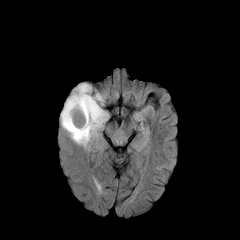
FLAIR MR.
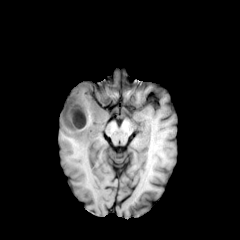
T1-weighted MRI of the same slice.
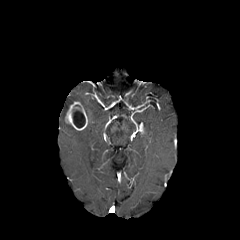
Post-contrast T1-weighted MR.
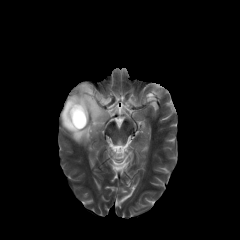
T2-weighted magnetic resonance of the same slice.
Head. Axial slice. 240x240.
<segmentation>
  <enhancing_tumor>(x1=65, y1=101, x2=88, y2=130)</enhancing_tumor>
  <necrotic_tumor_core>(x1=73, y1=110, x2=85, y2=127)</necrotic_tumor_core>
  <peritumoral_edema>(x1=60, y1=83, x2=108, y2=149)</peritumoral_edema>
</segmentation>